FLAIR MR.
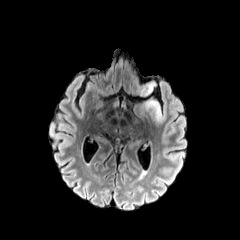
T1-weighted MR.
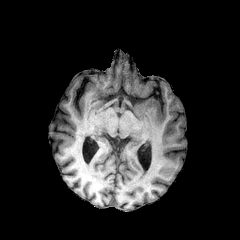
Post-contrast T1-weighted magnetic resonance.
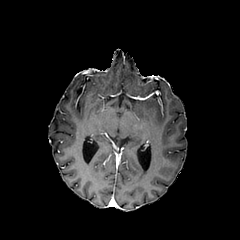
T2-weighted MRI.
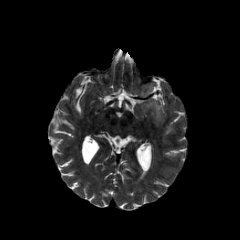
Axial slice
peritumoral edema: 138 82 155 96, 144 97 162 122